FLAIR MR image.
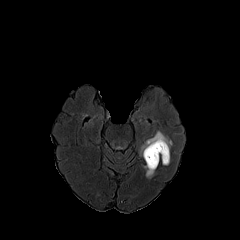
T1-weighted MRI.
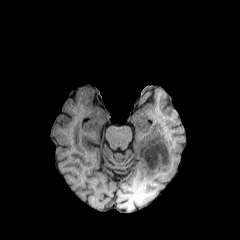
Post-contrast T1-weighted MRI.
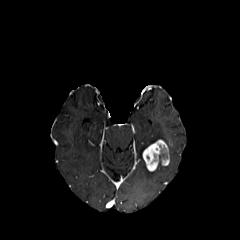
T2-weighted MR image.
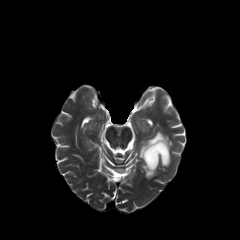
Axial plane, Image size 240x240
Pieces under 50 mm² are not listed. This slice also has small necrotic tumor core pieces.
peritumoral_edema:
  - rect(142, 165, 156, 178)
  - rect(140, 131, 172, 156)
enhancing_tumor:
  - rect(142, 139, 169, 171)